Head | Slice 107 of 155 | Image width 240 mm
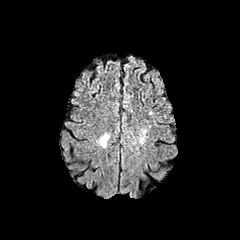
FLAIR MRI.
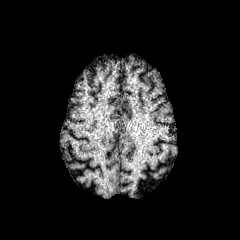
T1-weighted MR image.
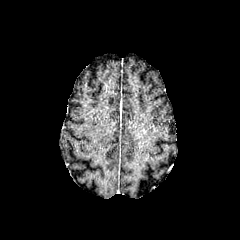
Same slice, post-contrast T1-weighted MR image.
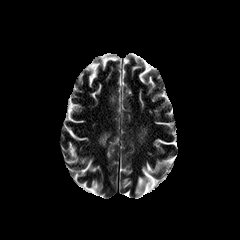
T2-weighted MRI.
peritumoral edema = [98,133,109,147], [138,128,147,144]